Axial view. Slice 89 of 155. Image size 240x240.
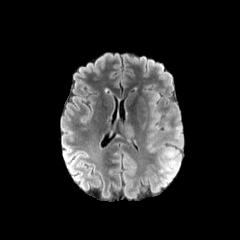
FLAIR magnetic resonance.
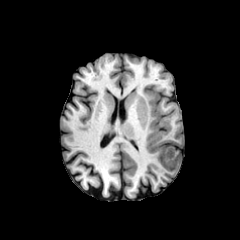
T1-weighted magnetic resonance.
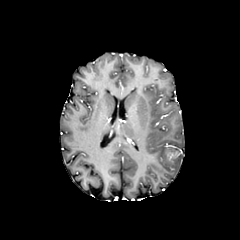
Post-contrast T1-weighted MR.
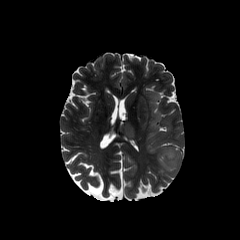
T2-weighted MR.
peritumoral_edema:
  - 158, 127, 183, 177
  - 140, 86, 159, 119
enhancing_tumor:
  - 166, 150, 176, 160